FLAIR MR.
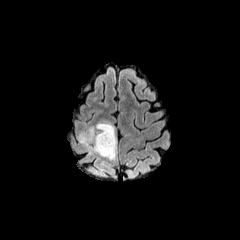
T1-weighted MRI.
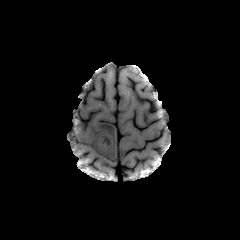
Post-contrast T1-weighted magnetic resonance.
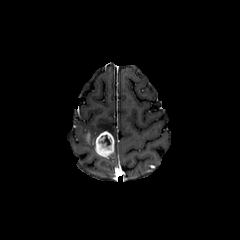
T2-weighted MR image.
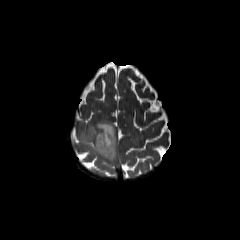
240x240. Brain.
The enhancing tumor is bounded by l=86, t=131, r=114, b=157. 2 peritumoral edema regions appear at l=78, t=132, r=97, b=154; l=88, t=122, r=116, b=159. The necrotic tumor core is at l=101, t=135, r=110, b=145.